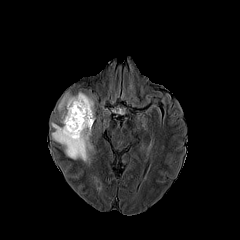
FLAIR MR.
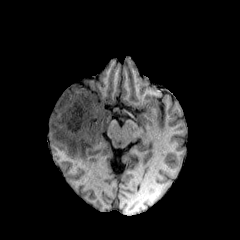
T1-weighted MR image.
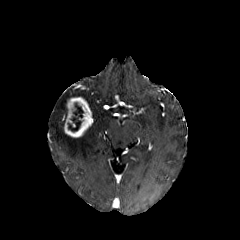
Post-contrast T1-weighted MR image of the same slice.
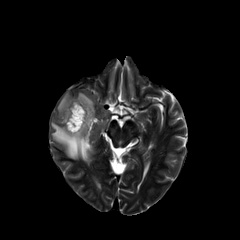
Same slice, T2-weighted MR image.
Image size 240x240, Brain
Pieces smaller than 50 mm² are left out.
necrotic tumor core at (left=68, top=103, right=83, bottom=131)
enhancing tumor at (left=64, top=96, right=93, bottom=137)
peritumoral edema at (left=57, top=92, right=95, bottom=119), (left=51, top=121, right=93, bottom=163)